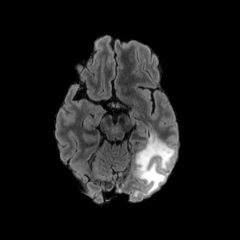
FLAIR MRI.
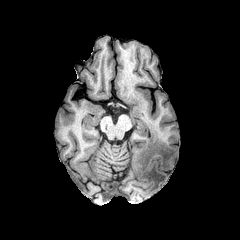
T1-weighted magnetic resonance.
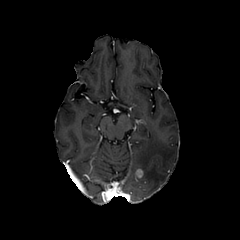
Post-contrast T1-weighted MRI.
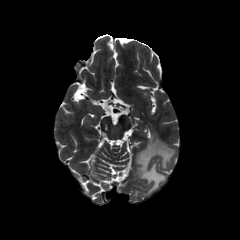
T2-weighted magnetic resonance.
240x240 px
Segmented structures:
* peritumoral edema: region(134, 134, 175, 196)
* enhancing tumor: region(135, 169, 143, 177)